Slice 55 of 155; Brain
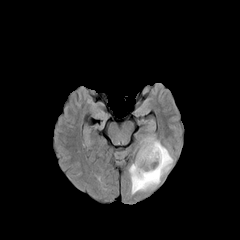
FLAIR MR image.
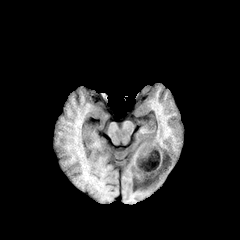
T1-weighted MRI of the same slice.
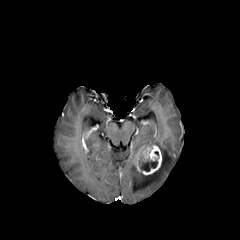
Post-contrast T1-weighted MRI of the same slice.
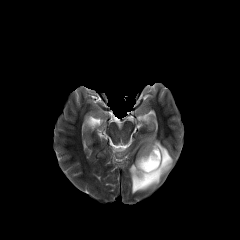
T2-weighted magnetic resonance of the same slice.
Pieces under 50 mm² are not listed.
The enhancing tumor appears at (x1=136, y1=145, x2=162, y2=175). The largest necrotic tumor core region appears at (x1=139, y1=160, x2=157, y2=171). The peritumoral edema is at (x1=128, y1=135, x2=173, y2=194).